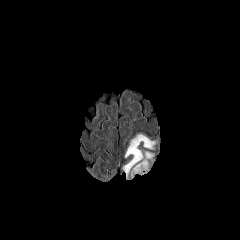
FLAIR magnetic resonance.
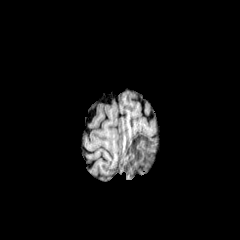
T1-weighted MR of the same slice.
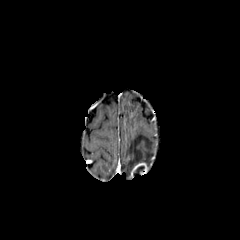
Post-contrast T1-weighted MR.
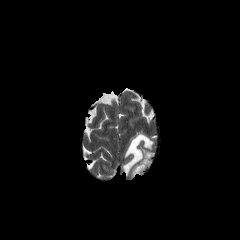
Same slice, T2-weighted MRI.
Axial view | Head | 240x240 px
The peritumoral edema lies within left=123, top=133, right=156, bottom=176. The necrotic tumor core is located at left=134, top=166, right=144, bottom=174. The enhancing tumor is at left=131, top=162, right=147, bottom=175.